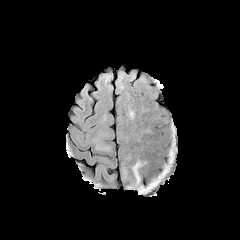
FLAIR magnetic resonance.
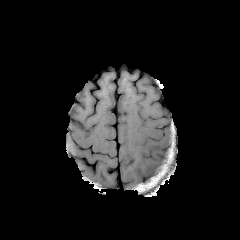
T1-weighted magnetic resonance of the same slice.
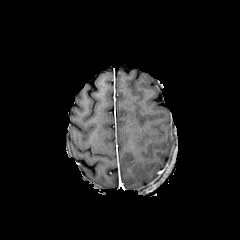
Post-contrast T1-weighted MRI.
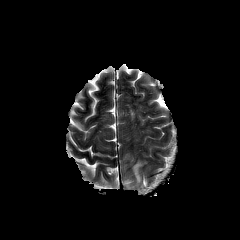
T2-weighted magnetic resonance.
Brain; Axial slice
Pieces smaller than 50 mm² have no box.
The largest peritumoral edema region lies within box=[126, 160, 146, 189].